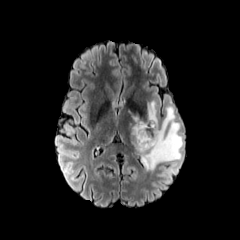
FLAIR MR.
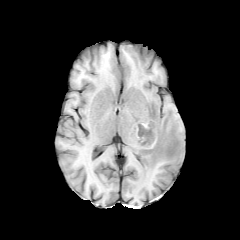
Same slice, T1-weighted MRI.
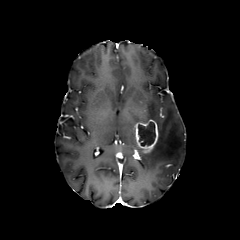
Same slice, post-contrast T1-weighted magnetic resonance.
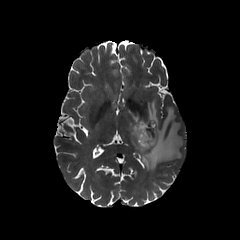
Same slice, T2-weighted magnetic resonance.
240x240 px, Axial plane, Head
<segmentation>
  <enhancing_tumor>[x1=135, y1=119, x2=158, y2=158]</enhancing_tumor>
  <peritumoral_edema>[x1=140, y1=100, x2=183, y2=172], [x1=128, y1=109, x2=147, y2=148]</peritumoral_edema>
  <necrotic_tumor_core>[x1=138, y1=121, x2=155, y2=146]</necrotic_tumor_core>
</segmentation>